Image width 240 mm
FLAIR MRI.
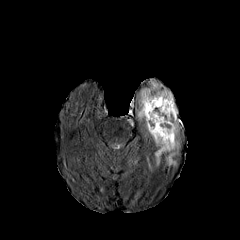
T1-weighted MR image.
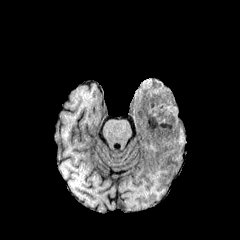
Post-contrast T1-weighted magnetic resonance.
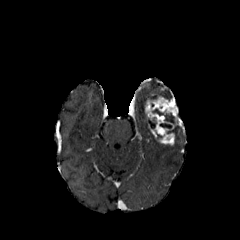
T2-weighted MR image.
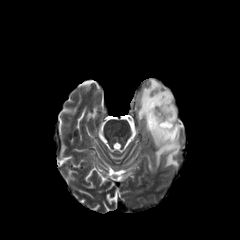
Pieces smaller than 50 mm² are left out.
enhancing tumor: [x1=145, y1=96, x2=181, y2=145]
necrotic tumor core: [x1=159, y1=123, x2=172, y2=128], [x1=147, y1=117, x2=156, y2=129], [x1=152, y1=108, x2=174, y2=124]
peritumoral edema: [x1=145, y1=121, x2=180, y2=171], [x1=137, y1=78, x2=171, y2=120]